Axial slice, Slice 35/155
FLAIR MR image.
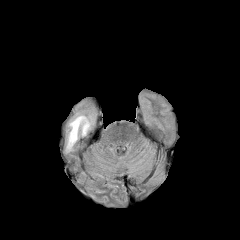
T1-weighted magnetic resonance.
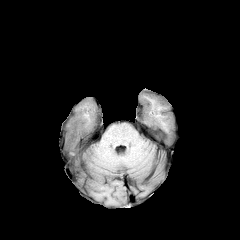
Post-contrast T1-weighted MRI.
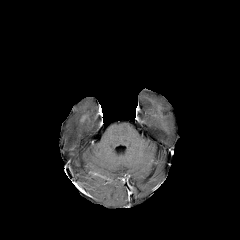
T2-weighted magnetic resonance.
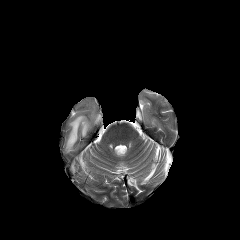
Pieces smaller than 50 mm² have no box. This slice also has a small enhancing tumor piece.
peritumoral edema = [x1=66, y1=114, x2=93, y2=152]